FLAIR MRI.
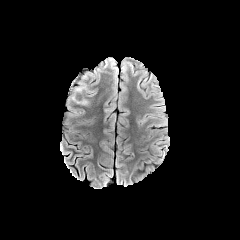
T1-weighted MR image.
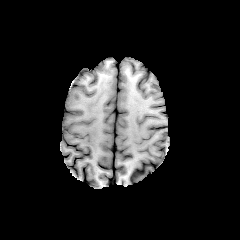
Post-contrast T1-weighted magnetic resonance.
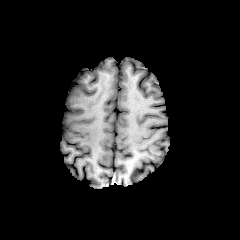
T2-weighted MRI.
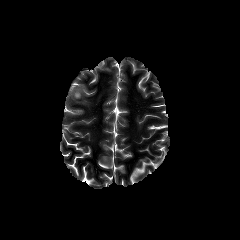
240x240.
The peritumoral edema lies within 70:83:88:104.